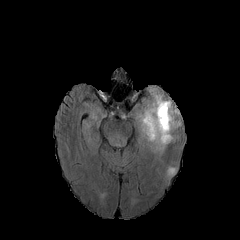
FLAIR MRI.
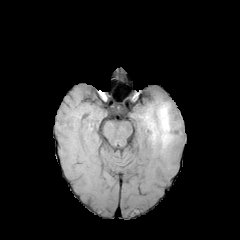
T1-weighted MRI of the same slice.
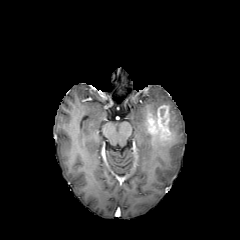
Post-contrast T1-weighted MR of the same slice.
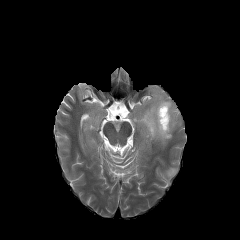
T2-weighted magnetic resonance.
Axial plane
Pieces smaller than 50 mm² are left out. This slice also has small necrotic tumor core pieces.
The 2 largest peritumoral edema regions are bounded by l=139, t=88, r=180, b=148; l=168, t=168, r=174, b=176. The enhancing tumor lies within l=146, t=105, r=171, b=140.